Slice index 56. Axial view. 240x240 px. Image width 240 mm.
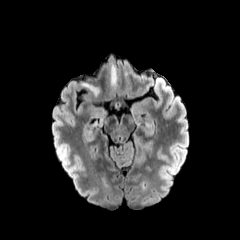
FLAIR MR.
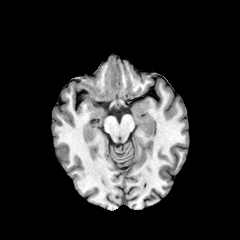
T1-weighted MR.
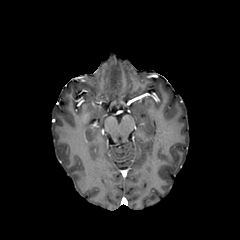
Post-contrast T1-weighted MR.
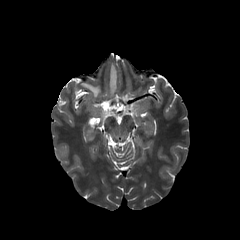
T2-weighted MR.
<segmentation>
  <peritumoral_edema>[x1=82, y1=83, x2=99, y2=96], [x1=110, y1=64, x2=117, y2=93]</peritumoral_edema>
</segmentation>